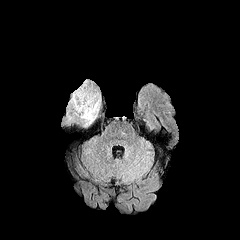
FLAIR magnetic resonance.
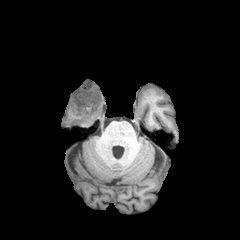
T1-weighted MR of the same slice.
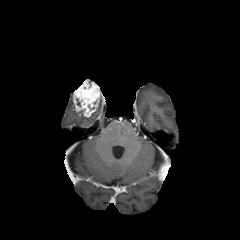
Post-contrast T1-weighted MRI.
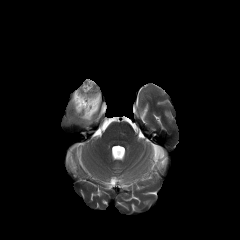
T2-weighted MR of the same slice.
Image size 240x240. Head. Axial slice.
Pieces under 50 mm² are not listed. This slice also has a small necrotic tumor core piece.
enhancing tumor: box(72, 79, 101, 117) | peritumoral edema: box(74, 100, 100, 125)